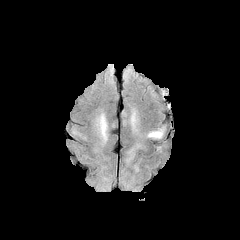
FLAIR MRI.
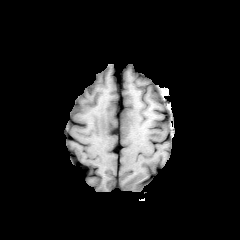
T1-weighted magnetic resonance of the same slice.
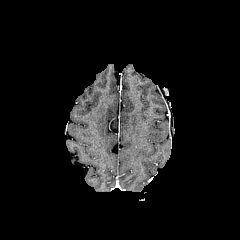
Same slice, post-contrast T1-weighted MR.
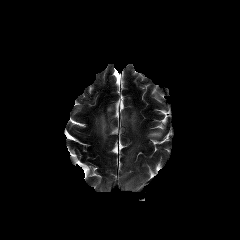
T2-weighted MRI.
Image size 240x240
3 peritumoral edema regions appear at <box>130,109,137,130</box>, <box>96,113,107,141</box>, <box>147,128,163,138</box>.